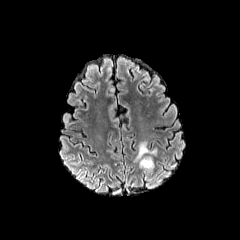
FLAIR MR image.
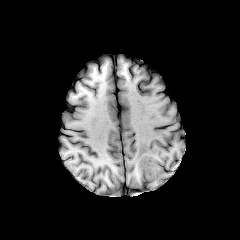
T1-weighted MR.
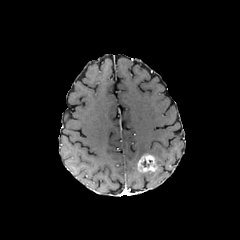
Post-contrast T1-weighted MR.
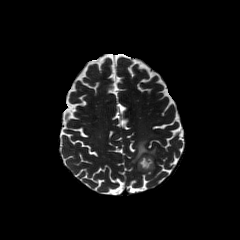
Same slice, T2-weighted magnetic resonance.
Brain, 240x240
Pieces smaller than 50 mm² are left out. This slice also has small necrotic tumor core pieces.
Findings:
* peritumoral edema: (x1=134, y1=141, x2=156, y2=162)
* enhancing tumor: (x1=137, y1=154, x2=156, y2=172)